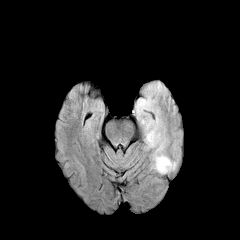
FLAIR MR.
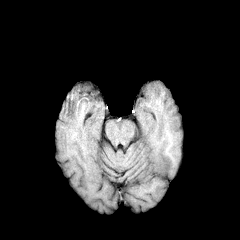
Same slice, T1-weighted magnetic resonance.
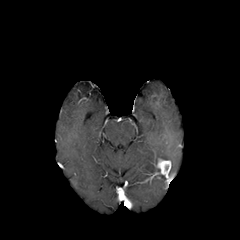
Post-contrast T1-weighted MRI.
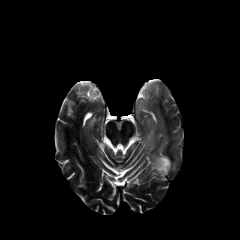
T2-weighted MR image.
Brain | Axial view
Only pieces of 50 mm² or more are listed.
The enhancing tumor appears at box=[156, 158, 171, 174]. The largest peritumoral edema region is located at box=[134, 80, 169, 174].